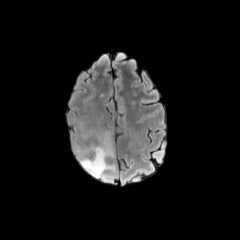
FLAIR MRI.
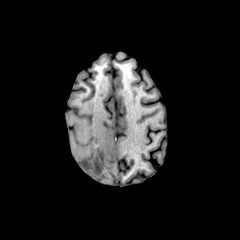
Same slice, T1-weighted magnetic resonance.
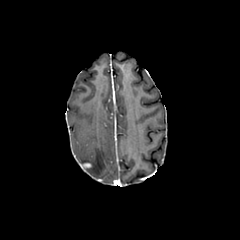
Post-contrast T1-weighted MR image.
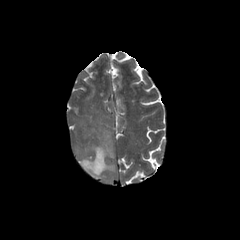
Same slice, T2-weighted MR.
Axial plane. Brain.
<segmentation>
  <peritumoral_edema>left=76, top=131, right=116, bottom=181</peritumoral_edema>
  <enhancing_tumor>left=81, top=162, right=91, bottom=170</enhancing_tumor>
</segmentation>